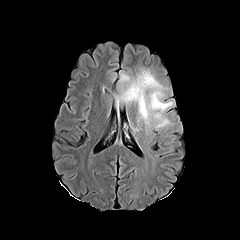
FLAIR magnetic resonance.
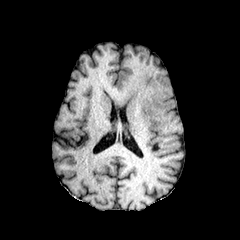
T1-weighted MR image.
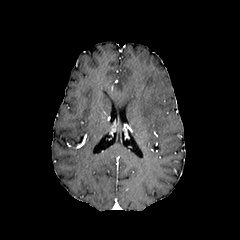
Same slice, post-contrast T1-weighted MR image.
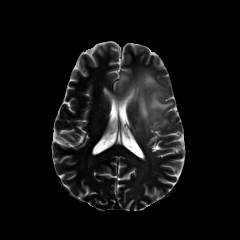
T2-weighted magnetic resonance of the same slice.
240x240 | Brain
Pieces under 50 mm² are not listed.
The largest peritumoral edema region appears at region(116, 70, 172, 128).